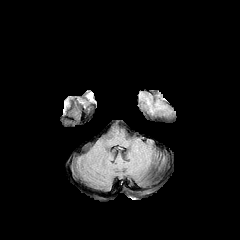
FLAIR magnetic resonance.
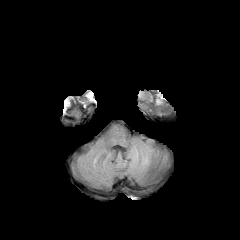
T1-weighted MRI.
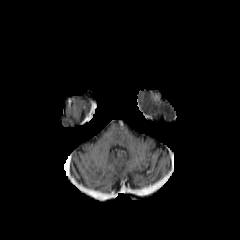
Post-contrast T1-weighted MRI of the same slice.
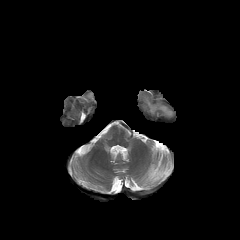
T2-weighted MR image of the same slice.
Brain. Axial plane.
peritumoral edema — box(145, 97, 171, 114)